Axial view. Brain.
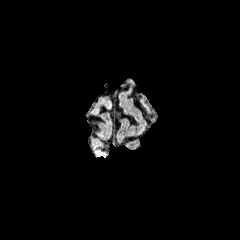
FLAIR MR image.
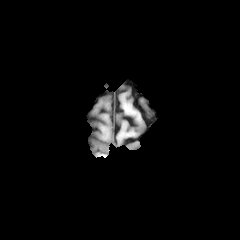
Same slice, T1-weighted MR.
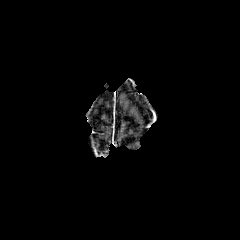
Post-contrast T1-weighted magnetic resonance.
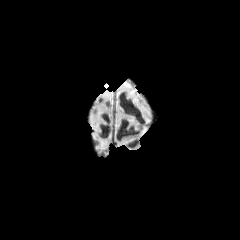
Same slice, T2-weighted MR.
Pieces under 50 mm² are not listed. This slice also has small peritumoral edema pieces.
• enhancing tumor: 94, 149, 105, 157